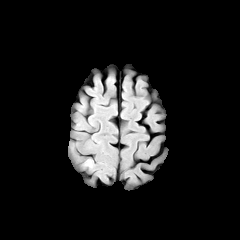
FLAIR magnetic resonance.
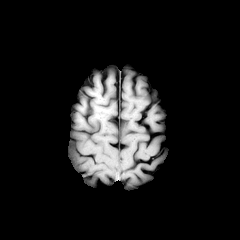
T1-weighted MR.
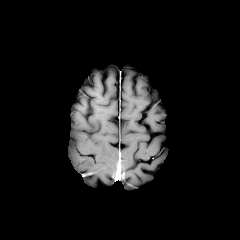
Post-contrast T1-weighted MR.
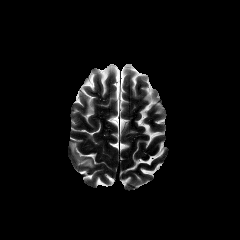
Same slice, T2-weighted MRI.
Brain
Segmented structures:
- peritumoral edema: <box>70,144,83,161</box>, <box>84,160,93,167</box>